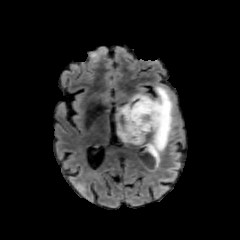
FLAIR MR.
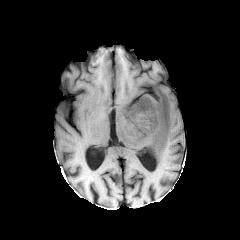
Same slice, T1-weighted magnetic resonance.
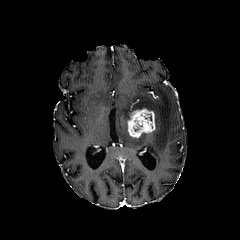
Post-contrast T1-weighted MR.
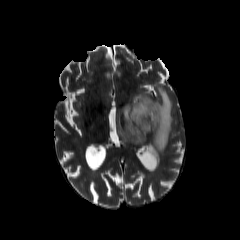
T2-weighted MR of the same slice.
240x240 | Axial view | Head
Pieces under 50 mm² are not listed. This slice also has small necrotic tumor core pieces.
The peritumoral edema is at region(114, 86, 173, 172). The enhancing tumor is located at region(127, 108, 155, 138).